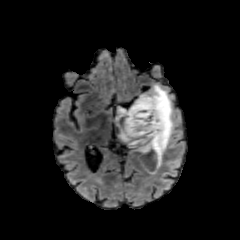
FLAIR magnetic resonance.
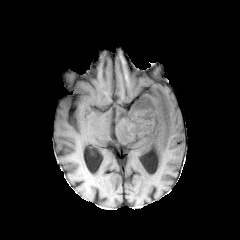
T1-weighted MRI of the same slice.
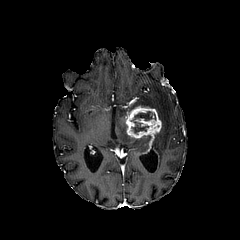
Post-contrast T1-weighted MR.
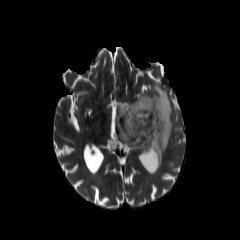
T2-weighted magnetic resonance.
Image size 240x240. Axial plane. Brain.
The peritumoral edema is bounded by rect(113, 84, 174, 174). The necrotic tumor core is bounded by rect(130, 111, 157, 133). The enhancing tumor lies within rect(125, 105, 161, 164).